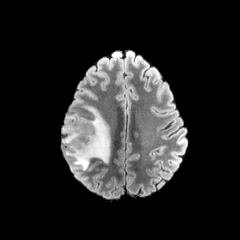
FLAIR MRI.
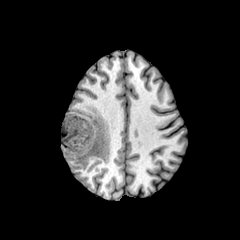
T1-weighted MRI.
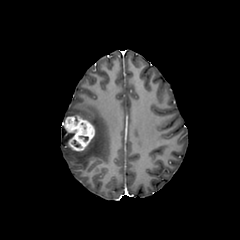
Post-contrast T1-weighted magnetic resonance.
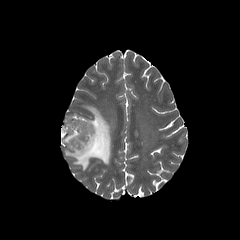
T2-weighted MRI of the same slice.
Axial slice; 240x240
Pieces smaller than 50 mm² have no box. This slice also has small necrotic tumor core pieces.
Findings:
• peritumoral edema: [61, 126, 74, 145], [64, 105, 110, 170]
• enhancing tumor: [63, 116, 95, 152]